Slice 97 of 155. Axial plane.
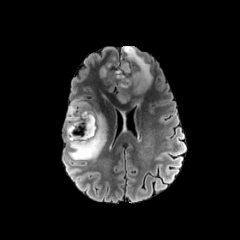
FLAIR MRI.
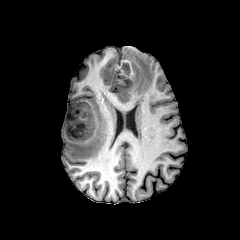
T1-weighted MR of the same slice.
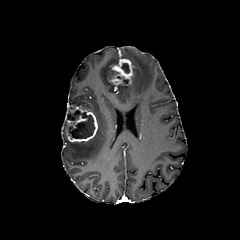
Post-contrast T1-weighted magnetic resonance of the same slice.
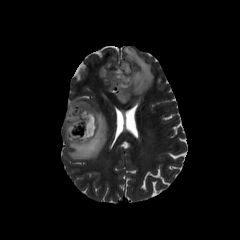
T2-weighted MR.
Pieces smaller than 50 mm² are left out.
enhancing tumor: bounding box bbox(65, 105, 97, 142); bbox(108, 59, 133, 87)
necrotic tumor core: bounding box bbox(121, 63, 129, 73); bbox(67, 110, 94, 138)
peritumoral edema: bounding box bbox(66, 109, 106, 159); bbox(100, 67, 111, 78); bbox(117, 46, 152, 103); bbox(70, 99, 90, 109)